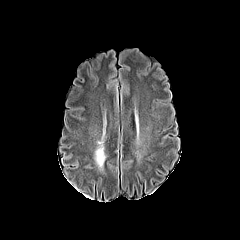
FLAIR magnetic resonance.
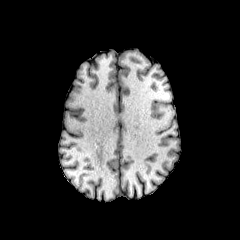
Same slice, T1-weighted magnetic resonance.
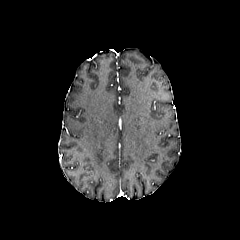
Post-contrast T1-weighted MR.
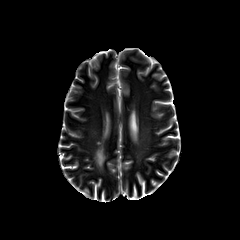
T2-weighted MR of the same slice.
<segmentation>
  <peritumoral_edema>(95, 141, 105, 168)</peritumoral_edema>
</segmentation>